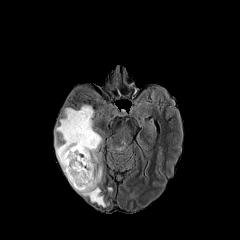
FLAIR MR.
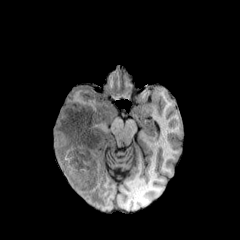
T1-weighted magnetic resonance.
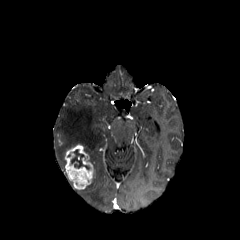
Post-contrast T1-weighted magnetic resonance of the same slice.
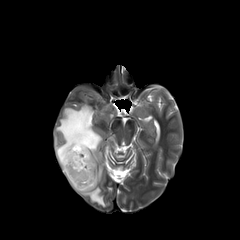
Same slice, T2-weighted MR image.
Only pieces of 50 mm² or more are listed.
The largest enhancing tumor region appears at 64, 144, 94, 189. The largest peritumoral edema region is at 55, 104, 105, 206. The largest necrotic tumor core region is at 70, 149, 89, 169.